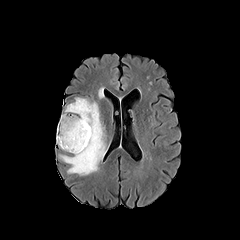
FLAIR MRI.
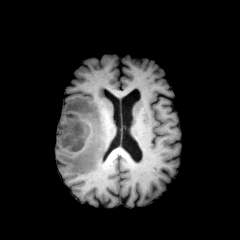
T1-weighted magnetic resonance of the same slice.
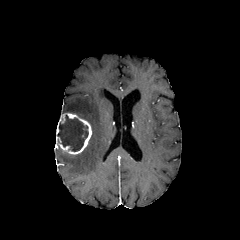
Same slice, post-contrast T1-weighted MR image.
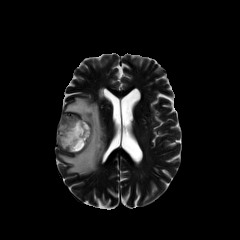
T2-weighted MR.
240x240
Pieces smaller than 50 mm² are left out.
<segmentation>
  <peritumoral_edema>59 97 106 175</peritumoral_edema>
  <enhancing_tumor>56 113 92 154</enhancing_tumor>
  <necrotic_tumor_core>57 115 88 151</necrotic_tumor_core>
</segmentation>